Slice 117 of 155 | Brain
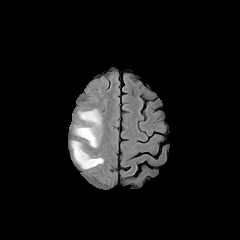
FLAIR MR.
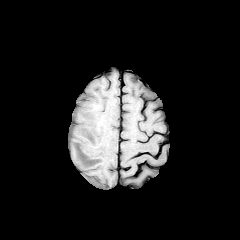
Same slice, T1-weighted MR.
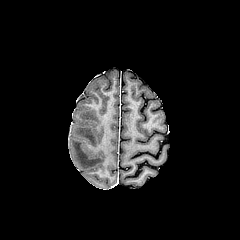
Post-contrast T1-weighted magnetic resonance.
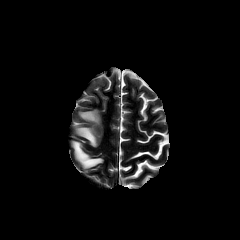
T2-weighted MR image.
{"peritumoral_edema": ["box=[75, 109, 100, 147]", "box=[72, 141, 103, 169]"]}